Slice index 52. Head. Axial slice.
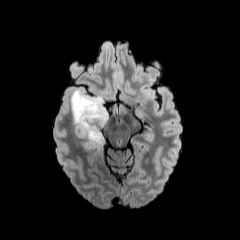
FLAIR magnetic resonance.
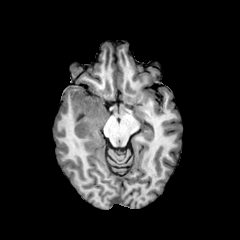
Same slice, T1-weighted magnetic resonance.
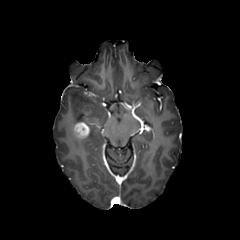
Post-contrast T1-weighted MR.
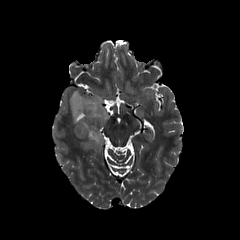
T2-weighted MRI of the same slice.
{
  "enhancing_tumor": [
    "[74,122,89,138]"
  ],
  "peritumoral_edema": [
    "[70,89,108,151]"
  ]
}